Slice 69/155, Head
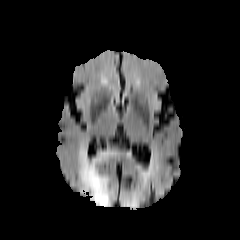
FLAIR MRI.
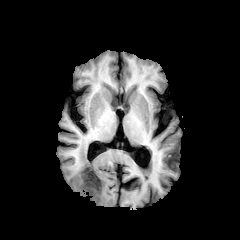
T1-weighted magnetic resonance.
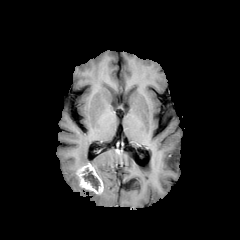
Post-contrast T1-weighted magnetic resonance.
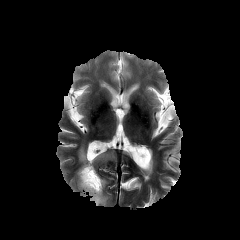
T2-weighted magnetic resonance of the same slice.
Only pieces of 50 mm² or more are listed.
The necrotic tumor core lies within <box>83,168,99,190</box>. The enhancing tumor is located at <box>77,163,103,194</box>. The largest peritumoral edema region is located at <box>78,144,112,206</box>.